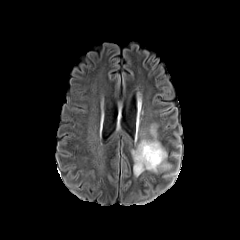
FLAIR MRI.
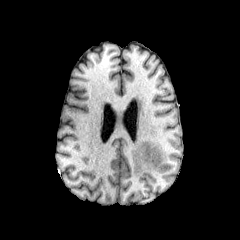
T1-weighted MRI.
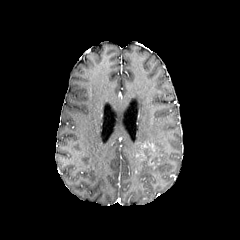
Post-contrast T1-weighted MRI.
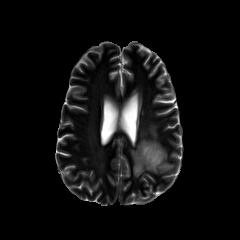
T2-weighted magnetic resonance.
Axial view; Brain
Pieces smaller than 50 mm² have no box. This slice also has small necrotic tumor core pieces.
enhancing tumor = (left=135, top=142, right=159, bottom=165)
peritumoral edema = (left=131, top=139, right=171, bottom=176)